Axial plane
FLAIR magnetic resonance.
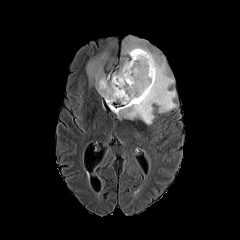
T1-weighted MRI.
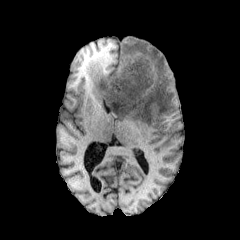
Post-contrast T1-weighted MR image.
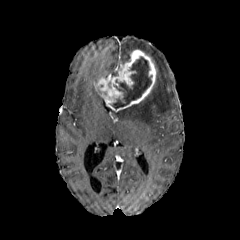
T2-weighted MR image.
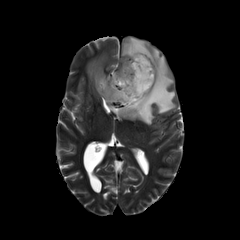
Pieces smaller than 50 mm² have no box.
The 2 largest peritumoral edema regions appear at x1=111 y1=37 x2=176 y2=124, x1=85 y1=48 x2=108 y2=88. The enhancing tumor is located at x1=95 y1=49 x2=156 y2=112. The largest necrotic tumor core region lies within x1=111 y1=56 x2=152 y2=109.